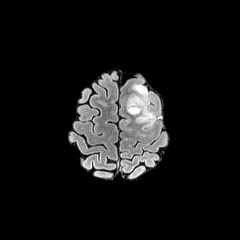
FLAIR MRI.
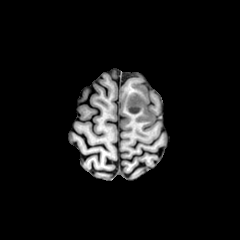
T1-weighted MR of the same slice.
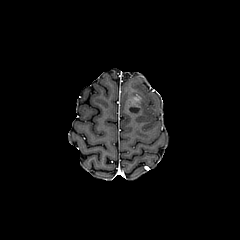
Post-contrast T1-weighted magnetic resonance.
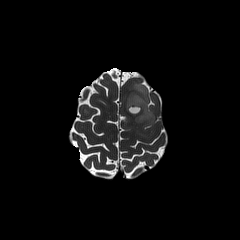
Same slice, T2-weighted MR.
Axial slice
Segmented structures:
- necrotic tumor core: {"x1": 129, "y1": 107, "x2": 139, "y2": 112}
- peritumoral edema: {"x1": 127, "y1": 83, "x2": 156, "y2": 126}
- enhancing tumor: {"x1": 126, "y1": 95, "x2": 141, "y2": 114}